Slice index 45; Brain
FLAIR MR.
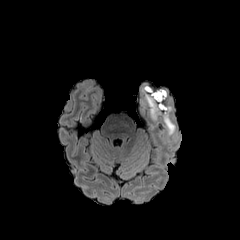
T1-weighted MRI.
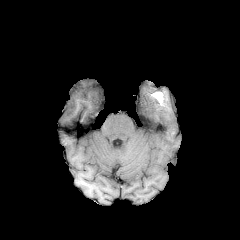
Post-contrast T1-weighted MR.
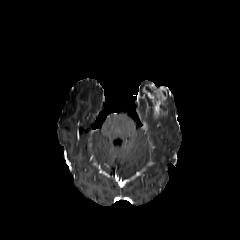
T2-weighted MR image.
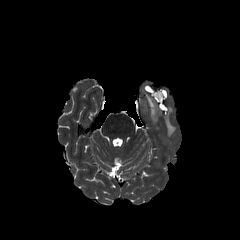
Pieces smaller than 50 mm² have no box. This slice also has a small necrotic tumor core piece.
enhancing tumor: l=142, t=83, r=167, b=118 | peritumoral edema: l=162, t=104, r=174, b=134